Image covers 240 mm x 240 mm | Slice index 112
FLAIR MR image.
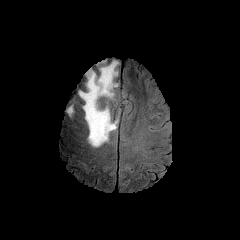
T1-weighted magnetic resonance.
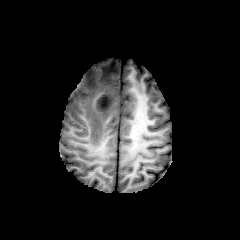
Post-contrast T1-weighted MR.
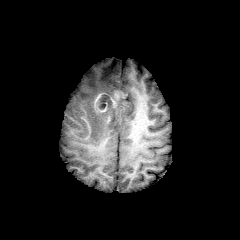
T2-weighted MRI.
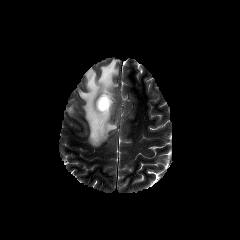
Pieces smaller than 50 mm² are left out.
The largest peritumoral edema region is located at box(78, 60, 118, 146). The necrotic tumor core is bounded by box(97, 94, 112, 109). The largest enhancing tumor region appears at box(95, 94, 107, 112).